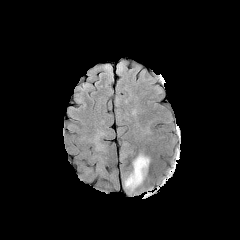
FLAIR magnetic resonance.
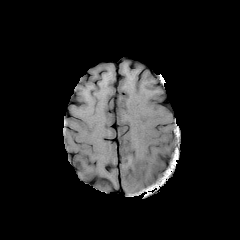
T1-weighted MR.
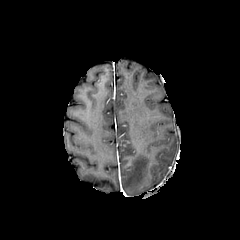
Same slice, post-contrast T1-weighted magnetic resonance.
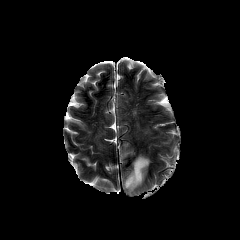
Same slice, T2-weighted MR image.
Axial view; Head
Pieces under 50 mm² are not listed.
peritumoral edema — {"x1": 123, "y1": 153, "x2": 149, "y2": 193}